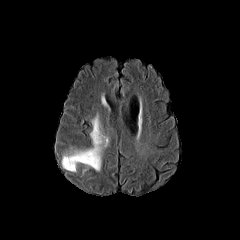
FLAIR MRI.
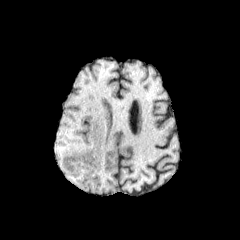
Same slice, T1-weighted magnetic resonance.
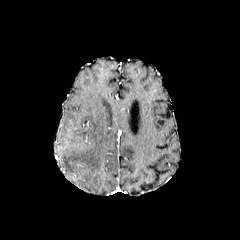
Same slice, post-contrast T1-weighted magnetic resonance.
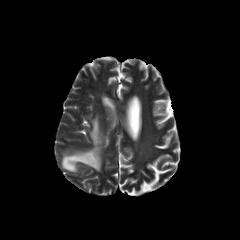
T2-weighted magnetic resonance of the same slice.
peritumoral edema = 62,116,108,171